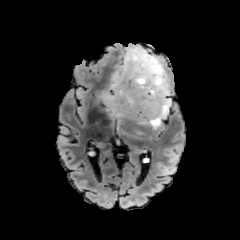
FLAIR magnetic resonance.
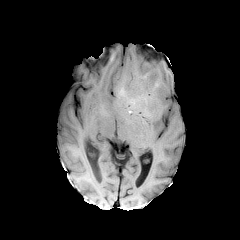
T1-weighted MR of the same slice.
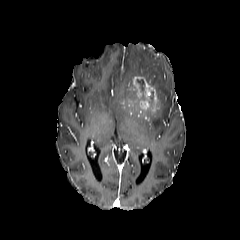
Same slice, post-contrast T1-weighted MR.
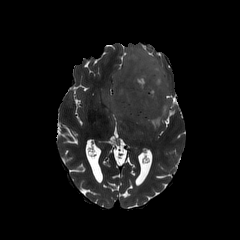
Same slice, T2-weighted magnetic resonance.
Axial view, Brain, 240x240
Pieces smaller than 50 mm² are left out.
necrotic tumor core: bounding box [130, 79, 146, 98]
peritumoral edema: bounding box [102, 46, 172, 138]
enhancing tumor: bounding box [123, 76, 161, 117]